Slice 67/155; Axial slice; Brain
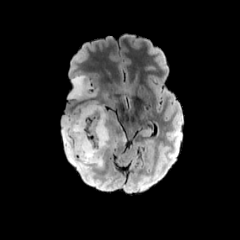
FLAIR magnetic resonance.
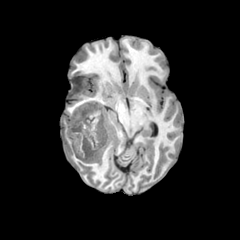
T1-weighted MR of the same slice.
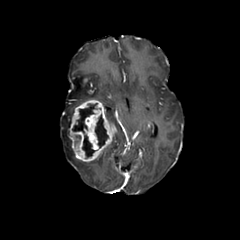
Post-contrast T1-weighted magnetic resonance of the same slice.
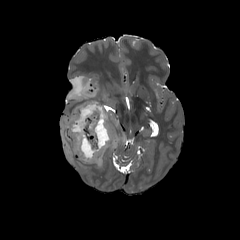
T2-weighted MR image.
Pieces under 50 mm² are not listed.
peritumoral edema — (62, 115, 103, 170), (68, 75, 96, 100)
enhancing tumor — (69, 99, 116, 161)
necrotic tumor core — (73, 104, 95, 133), (95, 115, 108, 147), (82, 135, 94, 157)